Image size 240x240 | Axial slice | Brain
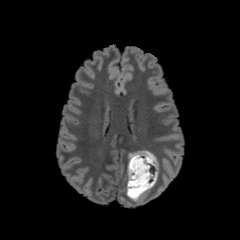
FLAIR MRI.
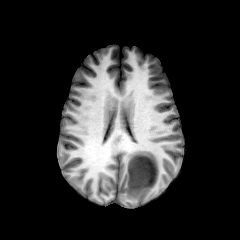
T1-weighted MR image.
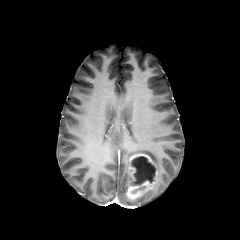
Post-contrast T1-weighted MR of the same slice.
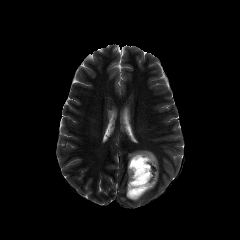
T2-weighted magnetic resonance.
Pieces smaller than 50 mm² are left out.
{"peritumoral_edema": ["box(128, 150, 158, 176)"], "enhancing_tumor": ["box(127, 153, 157, 199)"], "necrotic_tumor_core": ["box(130, 156, 156, 185)"]}